Image covers 240 mm x 240 mm
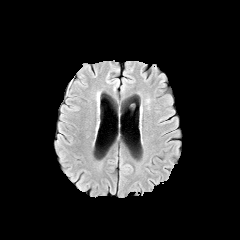
FLAIR MRI.
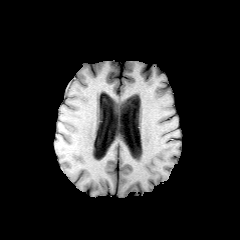
T1-weighted MR.
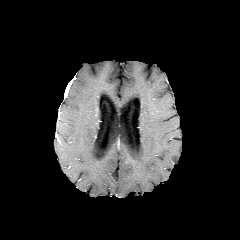
Post-contrast T1-weighted MR of the same slice.
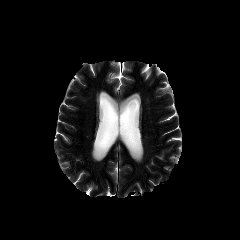
T2-weighted MR.
The enhancing tumor is at [64,76,75,98].